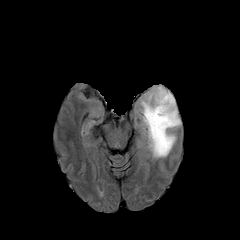
FLAIR MR.
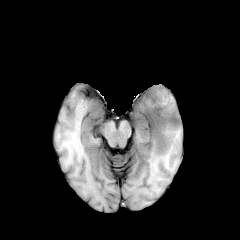
T1-weighted MR of the same slice.
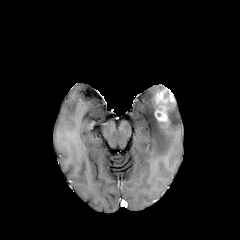
Post-contrast T1-weighted MR.
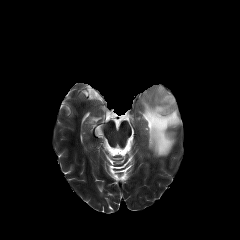
T2-weighted MR image.
Image size 240x240 | Axial plane | Brain
The peritumoral edema is located at 140 85 181 157. The enhancing tumor is bounded by 153 88 175 128.